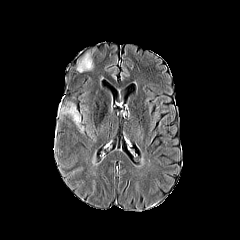
FLAIR MRI.
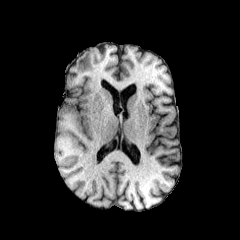
T1-weighted MR image.
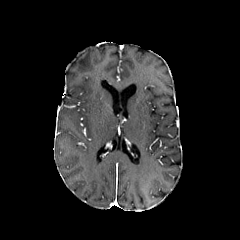
Post-contrast T1-weighted MR.
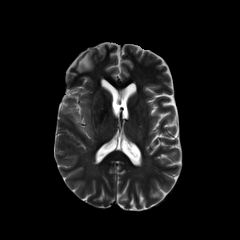
T2-weighted MRI.
Head, Axial view
* peritumoral edema: [x1=61, y1=101, x2=85, y2=134], [x1=76, y1=47, x2=96, y2=73]